FLAIR MRI.
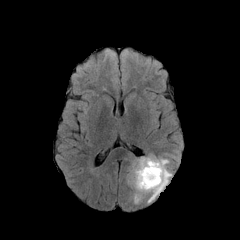
T1-weighted MR image.
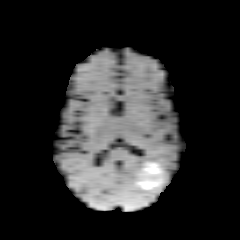
Post-contrast T1-weighted magnetic resonance.
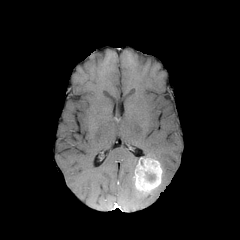
T2-weighted MR.
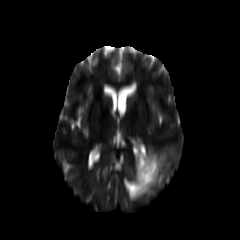
Head; Image size 240x240; Axial plane
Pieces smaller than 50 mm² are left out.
<segmentation>
  <necrotic_tumor_core>rect(143, 172, 155, 182)</necrotic_tumor_core>
  <peritumoral_edema>rect(126, 158, 147, 203); rect(143, 153, 172, 202)</peritumoral_edema>
  <enhancing_tumor>rect(133, 157, 162, 194)</enhancing_tumor>
</segmentation>